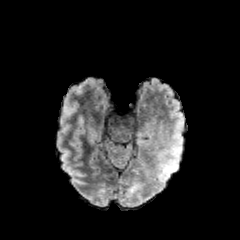
FLAIR MR image.
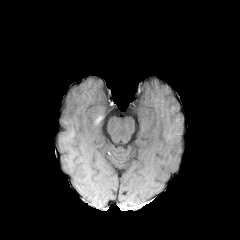
T1-weighted MRI.
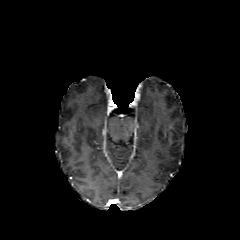
Post-contrast T1-weighted MRI.
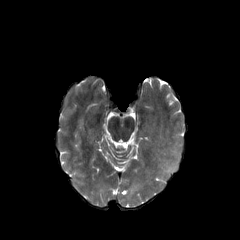
T2-weighted MR of the same slice.
Axial slice; 240x240
<segmentation>
  <peritumoral_edema>bbox=[155, 122, 184, 179]</peritumoral_edema>
</segmentation>